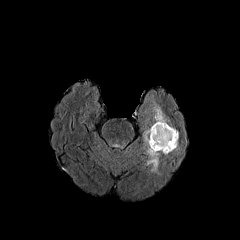
FLAIR magnetic resonance.
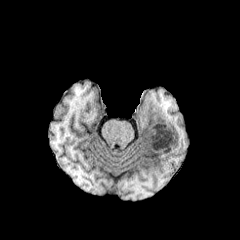
T1-weighted MRI.
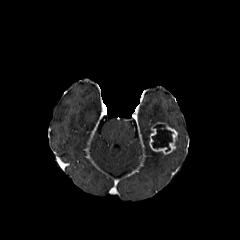
Post-contrast T1-weighted MR image.
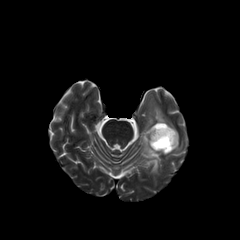
T2-weighted MRI.
Head. Axial slice.
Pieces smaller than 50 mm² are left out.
{"peritumoral_edema": ["x1=152, y1=102, x2=169, y2=123", "x1=143, y1=128, x2=162, y2=174"], "necrotic_tumor_core": ["x1=151, y1=124, x2=173, y2=151"], "enhancing_tumor": ["x1=149, y1=122, x2=177, y2=154"]}